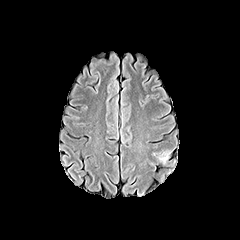
FLAIR MR image.
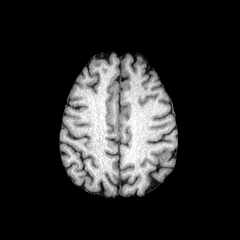
T1-weighted MR of the same slice.
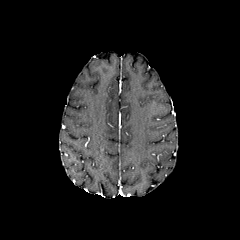
Post-contrast T1-weighted MRI of the same slice.
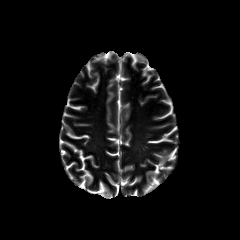
T2-weighted magnetic resonance.
Head
The peritumoral edema is at 160, 155, 170, 164.